FLAIR MRI.
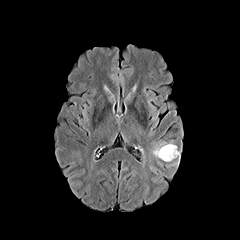
T1-weighted MRI.
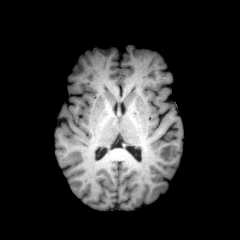
Post-contrast T1-weighted magnetic resonance.
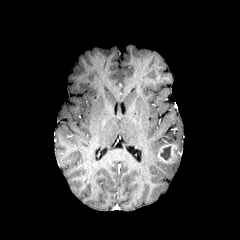
T2-weighted MRI.
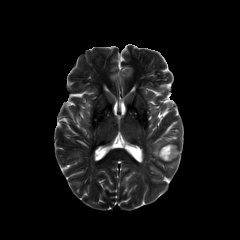
Image size 240x240 | Brain
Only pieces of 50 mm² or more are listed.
The largest peritumoral edema region is bounded by region(153, 142, 165, 157). The largest enhancing tumor region is bounded by region(158, 143, 177, 162). The largest necrotic tumor core region is at region(160, 146, 170, 159).